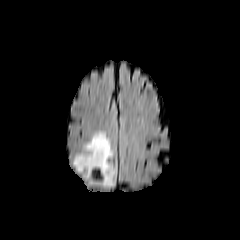
FLAIR MR image.
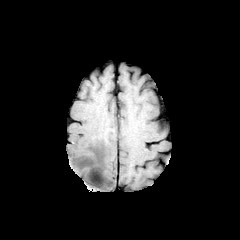
T1-weighted MR.
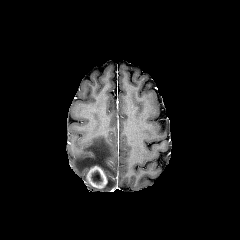
Post-contrast T1-weighted MRI.
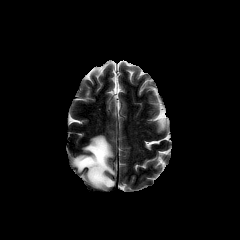
Same slice, T2-weighted MR image.
The necrotic tumor core appears at rect(91, 171, 102, 183). The peritumoral edema is located at rect(72, 133, 116, 187). The enhancing tumor appears at rect(86, 165, 107, 188).